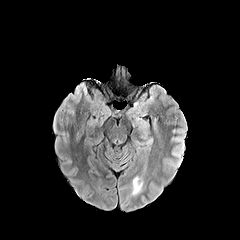
FLAIR MRI.
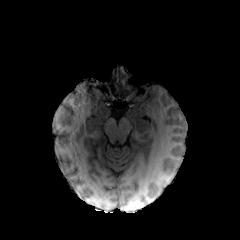
T1-weighted MR of the same slice.
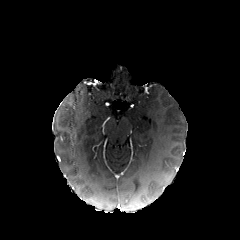
Same slice, post-contrast T1-weighted MR.
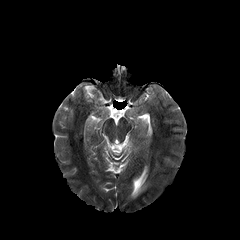
T2-weighted MR of the same slice.
Brain; Axial plane
peritumoral_edema:
  - (130, 175, 143, 197)